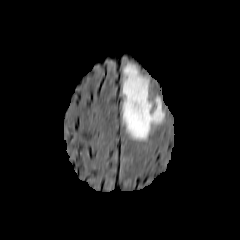
FLAIR magnetic resonance.
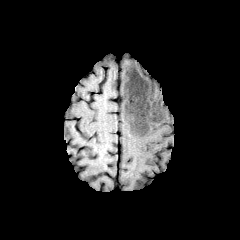
Same slice, T1-weighted MR image.
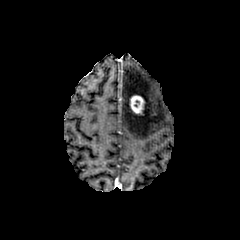
Same slice, post-contrast T1-weighted MR image.
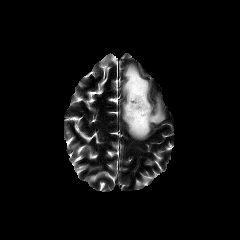
T2-weighted MRI.
Brain
peritumoral_edema:
  - (122, 63, 164, 140)
enhancing_tumor:
  - (129, 95, 145, 115)